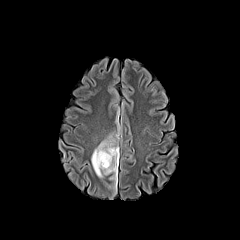
FLAIR MRI.
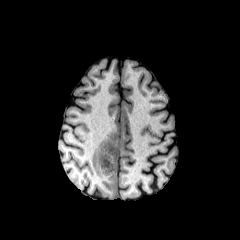
T1-weighted magnetic resonance.
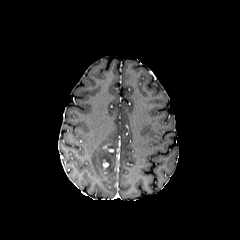
Post-contrast T1-weighted magnetic resonance.
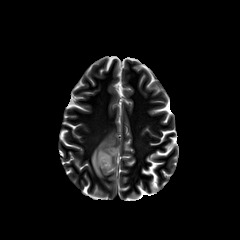
Same slice, T2-weighted magnetic resonance.
Brain | Image size 240x240
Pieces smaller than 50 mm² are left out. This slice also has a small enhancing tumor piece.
peritumoral edema: bounding box box(91, 134, 119, 181)